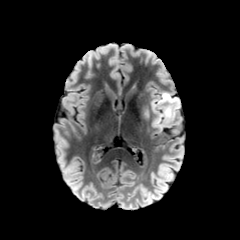
FLAIR MR.
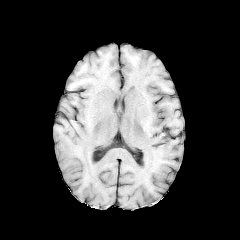
T1-weighted MRI.
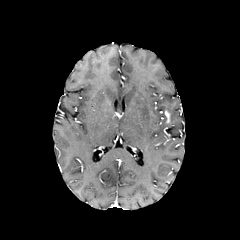
Post-contrast T1-weighted MR of the same slice.
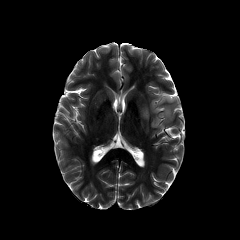
T2-weighted MR.
Head, Axial view
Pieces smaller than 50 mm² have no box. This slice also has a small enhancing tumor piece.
The largest peritumoral edema region is at (151, 92, 179, 130).